FLAIR MR.
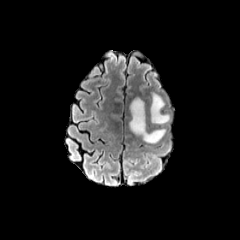
T1-weighted MR image.
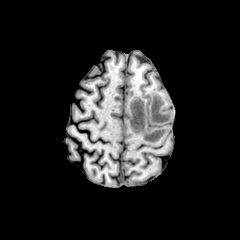
Post-contrast T1-weighted MRI.
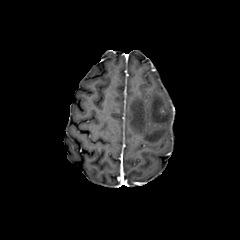
T2-weighted magnetic resonance.
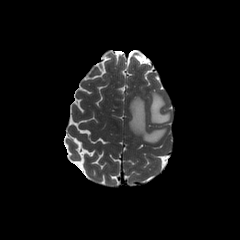
Axial view
2 peritumoral edema regions are bounded by region(129, 97, 165, 143); region(150, 93, 170, 124).